240x240, Brain, Axial slice
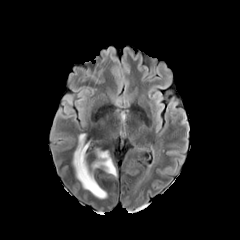
FLAIR MRI.
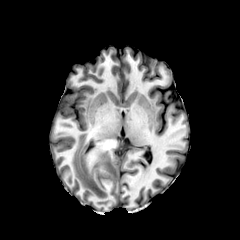
T1-weighted MR image.
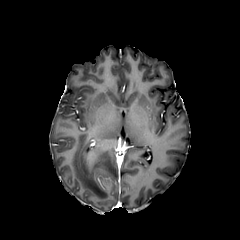
Same slice, post-contrast T1-weighted MR image.
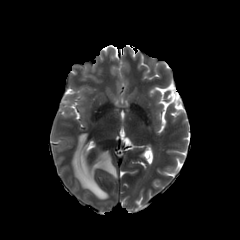
T2-weighted MR image.
The peritumoral edema lies within [72,134,117,199].